FLAIR MR image.
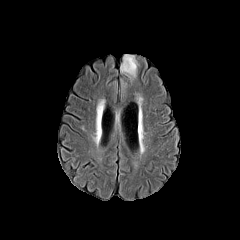
T1-weighted magnetic resonance.
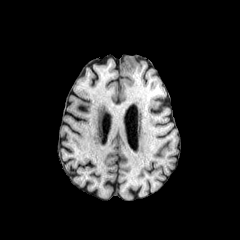
Post-contrast T1-weighted magnetic resonance.
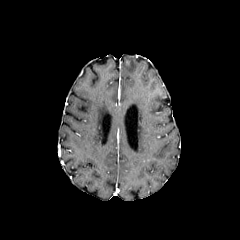
T2-weighted MR.
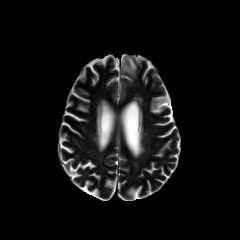
peritumoral edema: [120, 54, 137, 78]